Axial slice. Slice 61/155. Head. Image width 240 mm, 1.00 mm slice spacing.
FLAIR MRI.
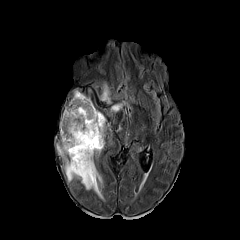
T1-weighted MR.
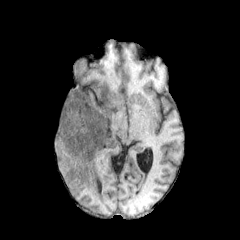
Post-contrast T1-weighted MRI.
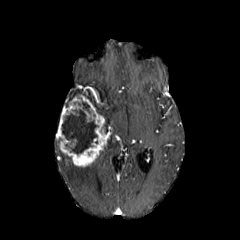
T2-weighted MRI.
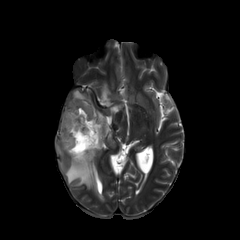
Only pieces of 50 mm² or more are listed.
peritumoral edema: 100,83,110,103; 111,104,122,111; 57,143,103,198 | necrotic tumor core: 62,109,98,154; 82,102,90,113 | enhancing tumor: 56,94,107,167